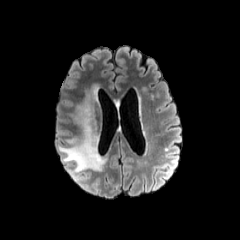
FLAIR MR image.
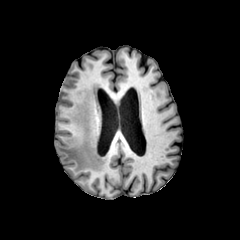
T1-weighted MRI.
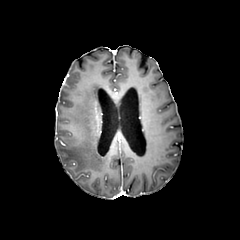
Post-contrast T1-weighted MRI.
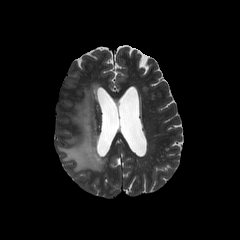
Same slice, T2-weighted MRI.
Axial plane. 240x240 px. Head.
The peritumoral edema lies within (58,86,106,172).